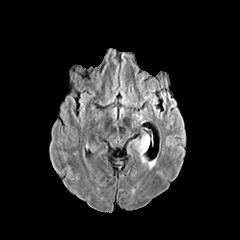
FLAIR MRI.
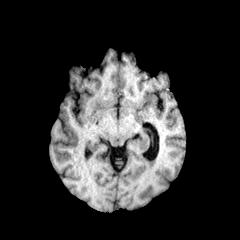
T1-weighted MR of the same slice.
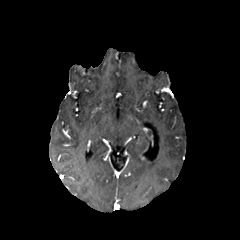
Post-contrast T1-weighted magnetic resonance of the same slice.
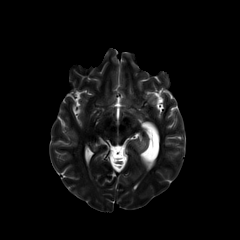
T2-weighted MR image.
Head; Axial slice
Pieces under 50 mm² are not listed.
peritumoral edema — (x1=136, y1=137, x2=148, y2=155)